FLAIR MR.
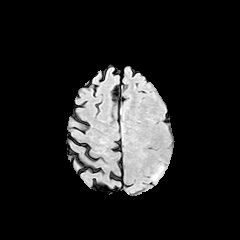
T1-weighted MRI.
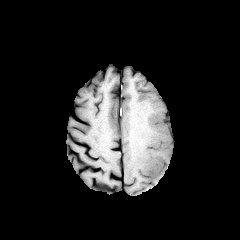
Post-contrast T1-weighted MRI.
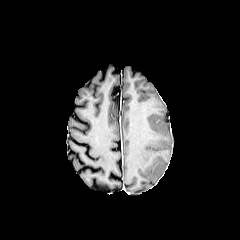
T2-weighted MRI.
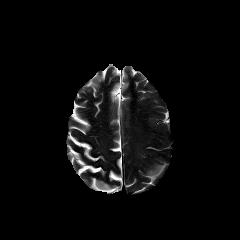
Axial view. 240x240.
Findings:
* peritumoral edema: (x1=151, y1=166, x2=163, y2=179)